FLAIR MR image.
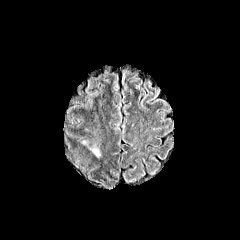
T1-weighted MR.
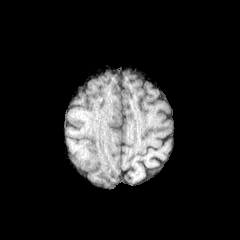
Post-contrast T1-weighted magnetic resonance.
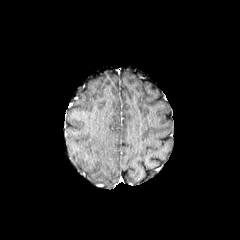
T2-weighted MR.
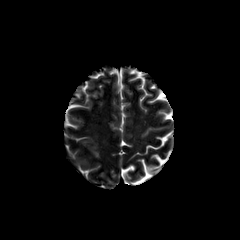
Head | Axial view
peritumoral edema: region(81, 140, 100, 158)